Slice 9 of 155. Head. Axial slice.
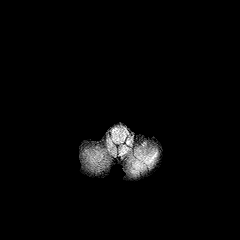
FLAIR MR image.
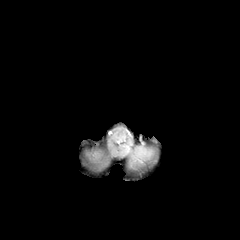
T1-weighted magnetic resonance.
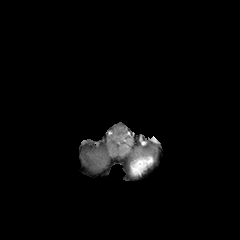
Post-contrast T1-weighted magnetic resonance of the same slice.
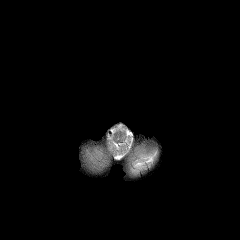
T2-weighted magnetic resonance.
enhancing tumor: bounding box [131, 156, 153, 174]
peritumoral edema: bounding box [137, 152, 156, 159]